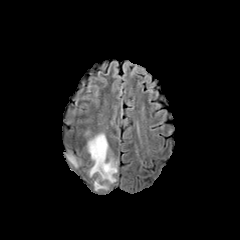
FLAIR magnetic resonance.
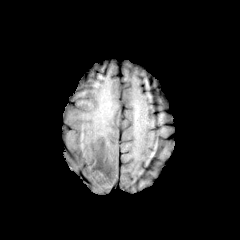
T1-weighted MR image.
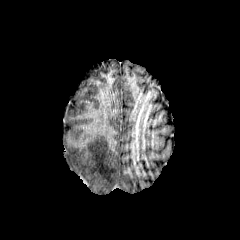
Same slice, post-contrast T1-weighted MRI.
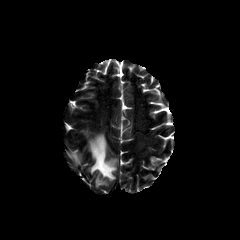
T2-weighted MR image.
240x240 px, Axial view
2 peritumoral edema regions are bounded by 67,154,79,166; 88,133,117,189.